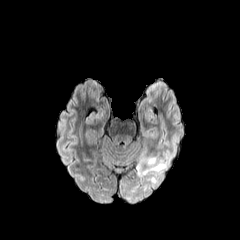
FLAIR magnetic resonance.
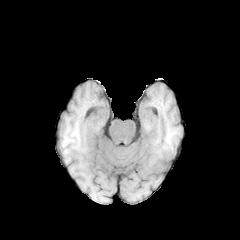
T1-weighted MRI.
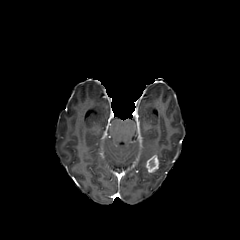
Post-contrast T1-weighted MR image.
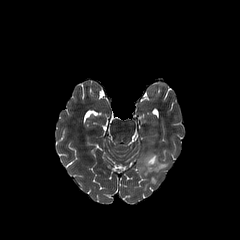
T2-weighted MRI of the same slice.
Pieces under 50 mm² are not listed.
The largest peritumoral edema region is bounded by 137 153 167 185. The enhancing tumor is bounded by 146 154 159 172.